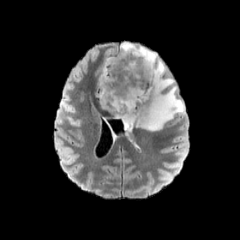
FLAIR MR.
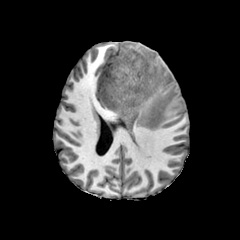
Same slice, T1-weighted magnetic resonance.
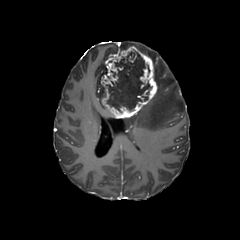
Post-contrast T1-weighted magnetic resonance.
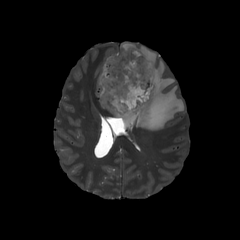
Same slice, T2-weighted MR.
Head
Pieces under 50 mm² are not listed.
The largest necrotic tumor core region lies within (x1=106, y1=51, x2=149, y2=110). The largest enhancing tumor region is located at (x1=100, y1=46, x2=157, y2=118). The largest peritumoral edema region appears at (x1=121, y1=42, x2=184, y2=131).